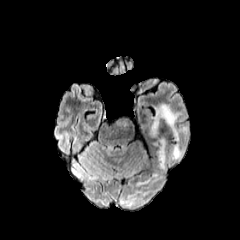
FLAIR MR image.
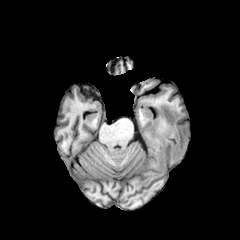
Same slice, T1-weighted MRI.
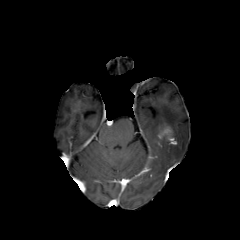
Post-contrast T1-weighted magnetic resonance.
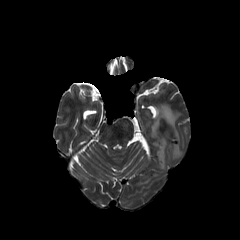
Same slice, T2-weighted magnetic resonance.
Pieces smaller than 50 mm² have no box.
• enhancing tumor: (157, 125, 174, 145)
• peritumoral edema: (158, 137, 166, 169), (151, 104, 187, 159)